FLAIR MR image.
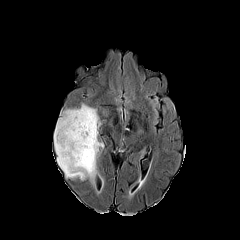
T1-weighted MRI.
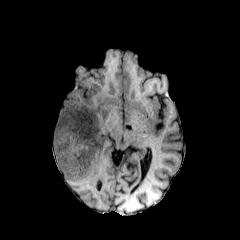
Post-contrast T1-weighted MR image.
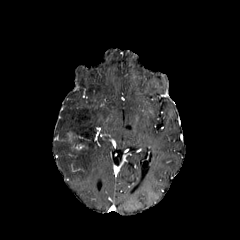
T2-weighted magnetic resonance.
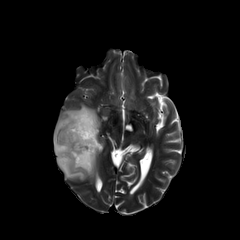
Axial slice, 240x240 px
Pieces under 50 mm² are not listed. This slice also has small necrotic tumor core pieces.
Segmented structures:
• peritumoral edema: (left=54, top=104, right=100, bottom=180)
• enhancing tumor: (left=67, top=132, right=83, bottom=141), (left=73, top=144, right=85, bottom=150)